FLAIR magnetic resonance.
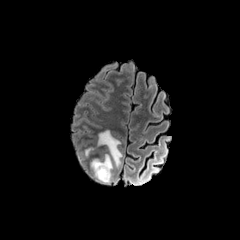
T1-weighted MR.
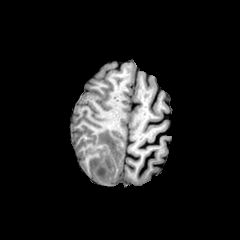
Post-contrast T1-weighted magnetic resonance.
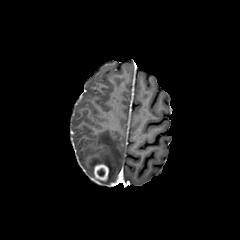
T2-weighted MR.
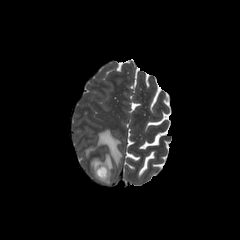
Head | Axial view
<segmentation>
  <peritumoral_edema>[85, 147, 94, 156], [91, 130, 122, 184]</peritumoral_edema>
  <enhancing_tumor>[93, 163, 108, 181]</enhancing_tumor>
  <necrotic_tumor_core>[97, 168, 105, 176]</necrotic_tumor_core>
</segmentation>